FLAIR MR image.
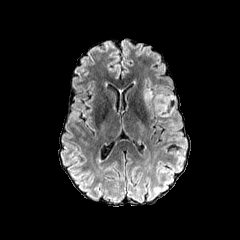
T1-weighted MR.
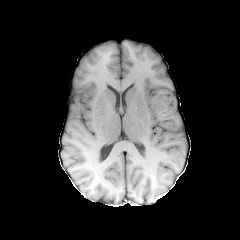
Post-contrast T1-weighted MRI.
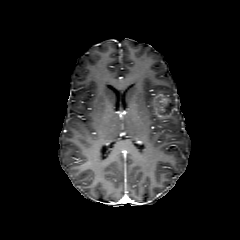
T2-weighted MRI.
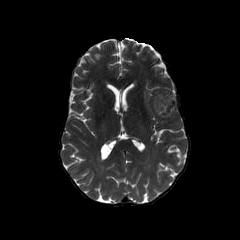
Brain, Image size 240x240, Axial plane
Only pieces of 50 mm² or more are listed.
enhancing tumor = [151,93,175,117]
necrotic tumor core = [164,100,173,113]
peritumoral edema = [144,90,152,102]